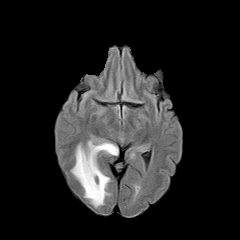
FLAIR magnetic resonance.
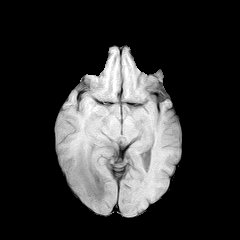
T1-weighted MR image.
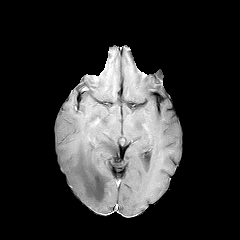
Post-contrast T1-weighted magnetic resonance.
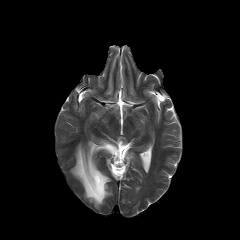
T2-weighted MR.
Axial slice. Image size 240x240.
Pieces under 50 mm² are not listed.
peritumoral edema: box=[71, 141, 118, 207]